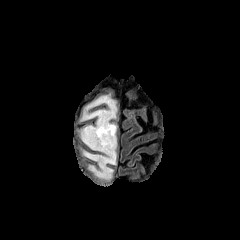
FLAIR MR image.
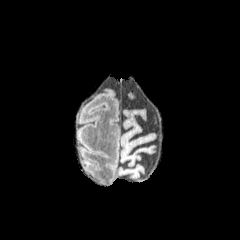
T1-weighted MRI of the same slice.
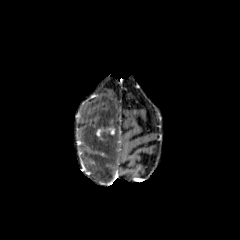
Post-contrast T1-weighted MR image.
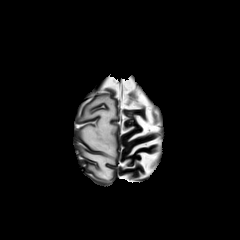
T2-weighted MR image.
Axial plane. Brain.
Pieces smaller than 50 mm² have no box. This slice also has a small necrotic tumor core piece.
peritumoral_edema:
  - (80, 95, 117, 181)
enhancing_tumor:
  - (96, 126, 114, 140)